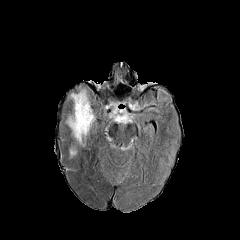
FLAIR MR.
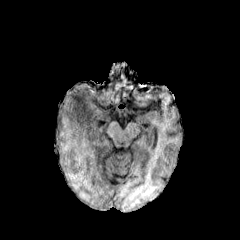
T1-weighted magnetic resonance.
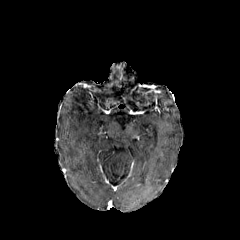
Post-contrast T1-weighted magnetic resonance of the same slice.
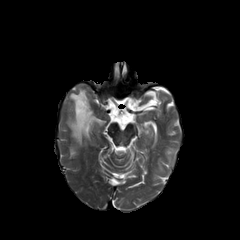
T2-weighted MR.
Brain
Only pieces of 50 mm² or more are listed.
peritumoral edema: [x1=69, y1=90, x2=95, y2=142]